FLAIR MR.
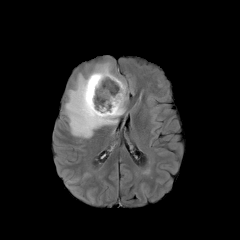
T1-weighted magnetic resonance.
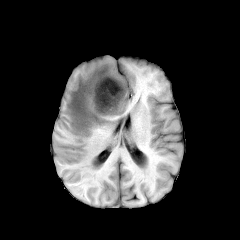
Post-contrast T1-weighted MRI.
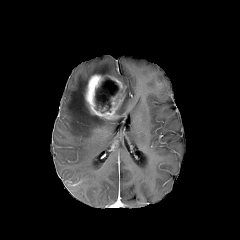
T2-weighted MRI.
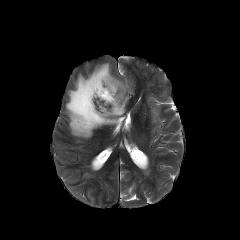
Image size 240x240; Axial plane
peritumoral edema: bounding box x1=65, y1=59, x2=128, y2=138
enhancing tumor: bounding box x1=85, y1=74, x2=126, y2=119
necrotic tumor core: bounding box x1=95, y1=77, x2=119, y2=111